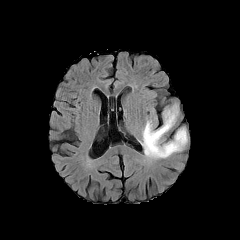
FLAIR MR image.
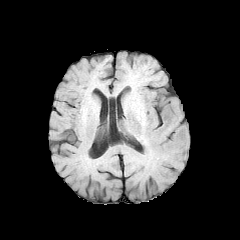
T1-weighted MR of the same slice.
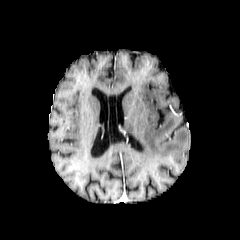
Same slice, post-contrast T1-weighted MR image.
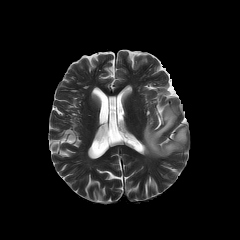
Same slice, T2-weighted magnetic resonance.
peritumoral_edema:
  - 142:106:187:157